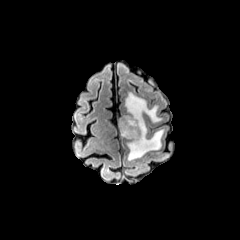
FLAIR MR image.
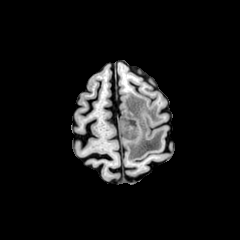
T1-weighted MR image.
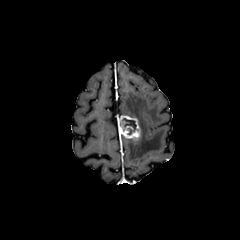
Post-contrast T1-weighted MR of the same slice.
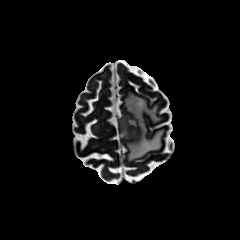
T2-weighted magnetic resonance.
Head
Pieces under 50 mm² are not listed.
peritumoral edema: bounding box 123 92 163 160
enhancing tumor: bounding box 118 115 140 140
necrotic tumor core: bounding box 123 118 136 131